FLAIR magnetic resonance.
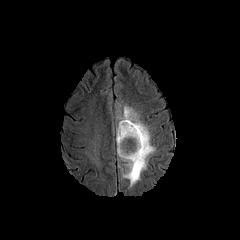
T1-weighted magnetic resonance.
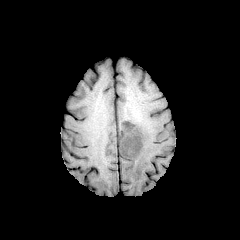
Post-contrast T1-weighted MR image.
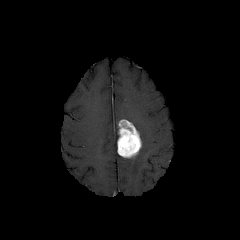
T2-weighted magnetic resonance.
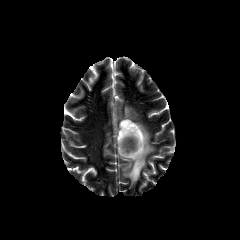
Brain.
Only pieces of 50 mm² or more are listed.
enhancing tumor: region(117, 119, 141, 158)
peritumoral edema: region(117, 105, 155, 186)